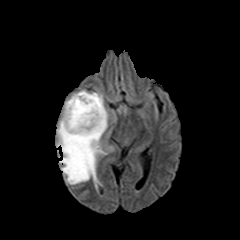
FLAIR MR.
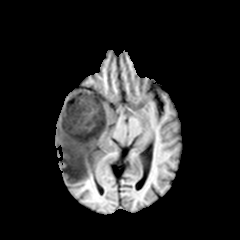
T1-weighted magnetic resonance of the same slice.
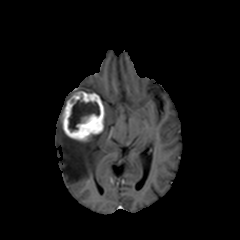
Same slice, post-contrast T1-weighted magnetic resonance.
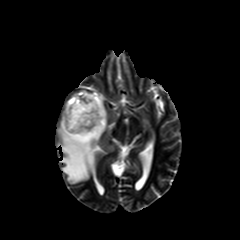
T2-weighted magnetic resonance of the same slice.
Image size 240x240.
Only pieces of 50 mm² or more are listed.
necrotic tumor core: bounding box left=69, top=100, right=99, bottom=131
enhancing tumor: bounding box left=62, top=91, right=104, bottom=141
peritumoral edema: bounding box left=57, top=108, right=108, bottom=184